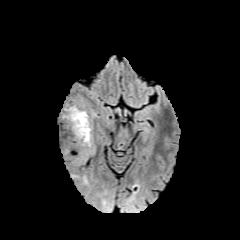
FLAIR magnetic resonance.
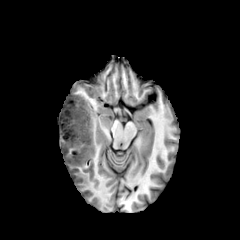
T1-weighted magnetic resonance.
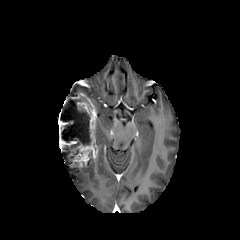
Same slice, post-contrast T1-weighted MR.
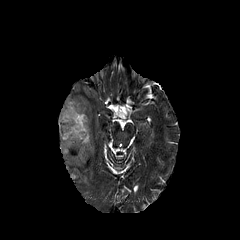
Same slice, T2-weighted MR.
Axial plane.
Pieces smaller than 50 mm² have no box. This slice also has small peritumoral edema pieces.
2 enhancing tumor regions appear at 63 93 97 167, 58 109 78 151. The largest necrotic tumor core region lies within 60 98 91 154.